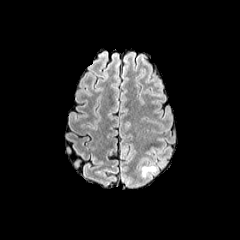
FLAIR magnetic resonance.
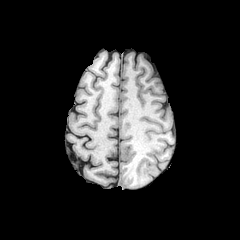
T1-weighted MR.
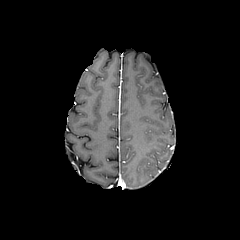
Post-contrast T1-weighted magnetic resonance.
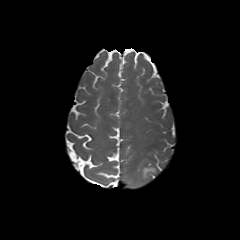
T2-weighted MR.
Axial plane
peritumoral edema — left=142, top=166, right=156, bottom=176